FLAIR magnetic resonance.
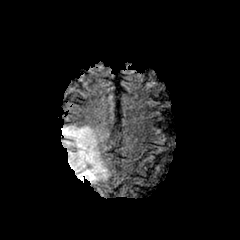
T1-weighted MRI.
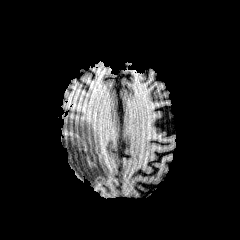
Post-contrast T1-weighted MRI.
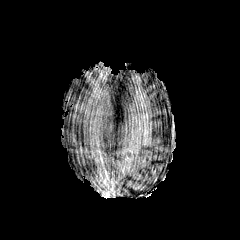
T2-weighted MR.
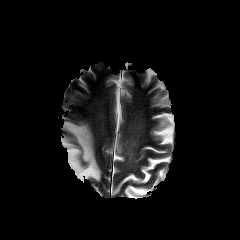
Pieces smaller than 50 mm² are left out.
The largest peritumoral edema region is at 61:123:110:182.